FLAIR MRI.
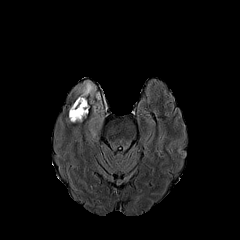
T1-weighted MR image.
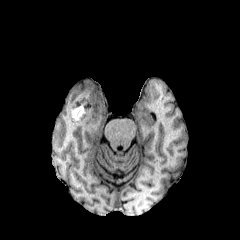
Post-contrast T1-weighted magnetic resonance.
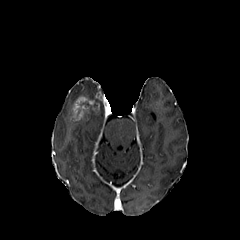
T2-weighted MR image.
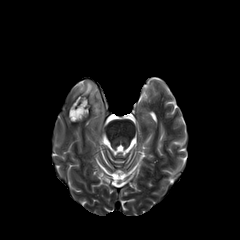
Head.
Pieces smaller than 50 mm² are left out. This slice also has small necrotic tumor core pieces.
The 3 largest peritumoral edema regions are located at left=74, top=80, right=96, bottom=99; left=94, top=100, right=103, bottom=121; left=69, top=105, right=82, bottom=122. The largest enhancing tumor region is bounded by left=70, top=96, right=99, bottom=120.